Slice index 76; Image width 240 mm, 1.00 mm slice spacing
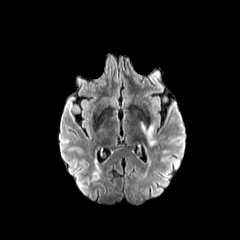
FLAIR MR.
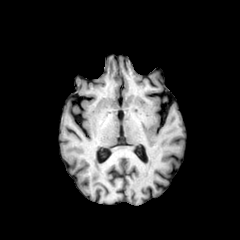
T1-weighted MR image of the same slice.
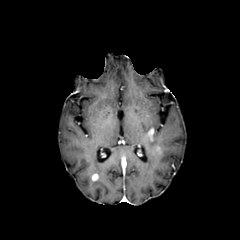
Post-contrast T1-weighted MR image.
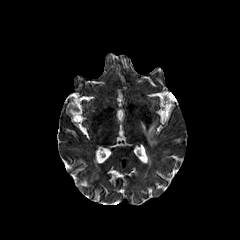
T2-weighted MRI.
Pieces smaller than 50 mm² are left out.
peritumoral edema — [141, 122, 154, 136], [147, 135, 156, 146]
enhancing tumor — [147, 128, 154, 140]